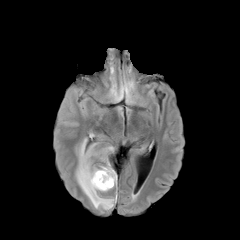
FLAIR MRI.
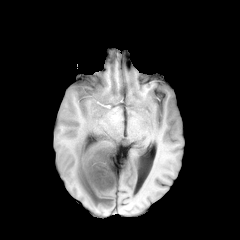
T1-weighted MR of the same slice.
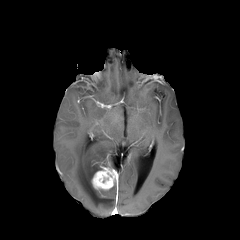
Post-contrast T1-weighted MRI.
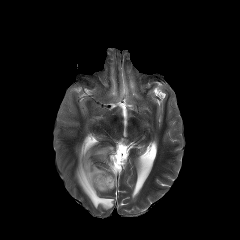
Same slice, T2-weighted magnetic resonance.
Head | Axial view | 240x240 px
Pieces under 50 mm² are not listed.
The enhancing tumor is at <box>92,164,117,190</box>. The largest peritumoral edema region appears at <box>75,138,115,209</box>.